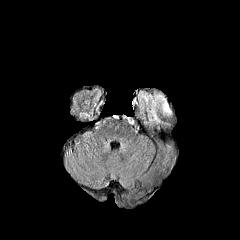
FLAIR magnetic resonance.
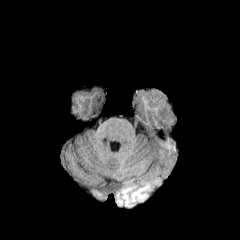
T1-weighted MRI of the same slice.
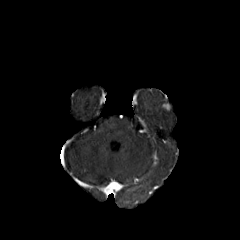
Same slice, post-contrast T1-weighted MR.
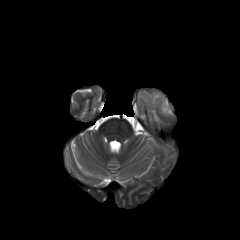
Same slice, T2-weighted MR image.
240x240 px; Axial plane; Brain
The enhancing tumor is bounded by rect(162, 103, 170, 110). The peritumoral edema lies within rect(139, 92, 171, 122).